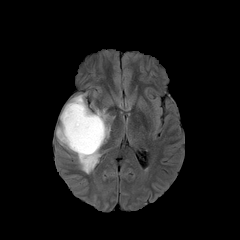
FLAIR MR.
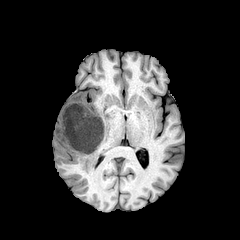
T1-weighted magnetic resonance of the same slice.
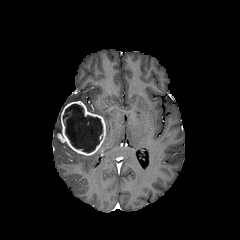
Post-contrast T1-weighted magnetic resonance.
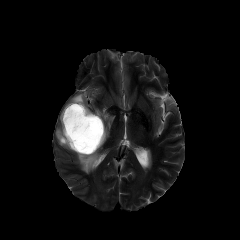
T2-weighted MRI.
Head
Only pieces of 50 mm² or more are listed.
{
  "peritumoral_edema": [
    "(95,109,110,142)",
    "(69,93,87,107)",
    "(58,139,99,173)"
  ],
  "necrotic_tumor_core": [
    "(63,104,102,152)"
  ],
  "enhancing_tumor": [
    "(57,101,106,155)"
  ]
}